Axial slice
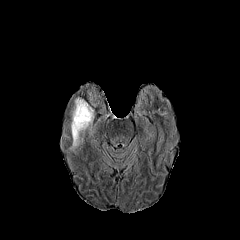
FLAIR MRI.
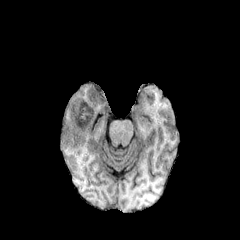
T1-weighted MR.
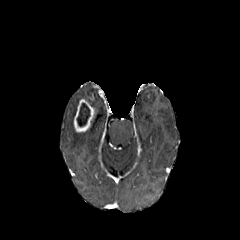
Post-contrast T1-weighted magnetic resonance.
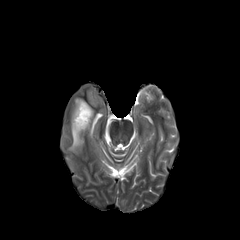
T2-weighted MR image of the same slice.
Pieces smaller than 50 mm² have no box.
{"enhancing_tumor": ["[74,99,94,132]"], "peritumoral_edema": ["[69,98,82,150]"], "necrotic_tumor_core": ["[77,103,90,126]"]}